FLAIR MR.
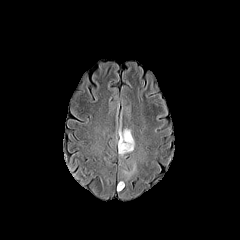
T1-weighted MR image.
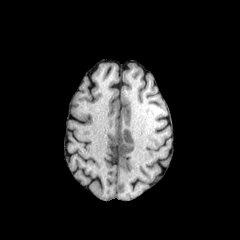
Post-contrast T1-weighted MRI.
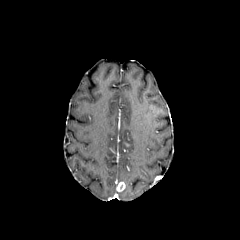
T2-weighted MR.
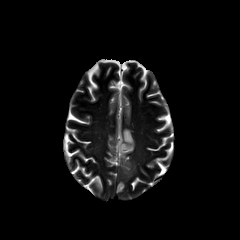
240x240 | Axial slice
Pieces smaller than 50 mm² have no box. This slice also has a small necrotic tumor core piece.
The largest enhancing tumor region lies within left=117, top=182, right=125, bottom=191. The 2 largest peritumoral edema regions are bounded by left=118, top=128, right=134, bottom=156; left=122, top=161, right=136, bottom=180.